Brain. Axial plane. Image width 240 mm.
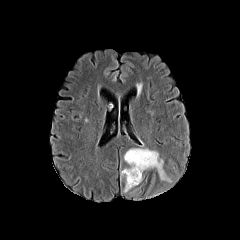
FLAIR MR.
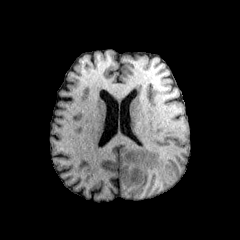
Same slice, T1-weighted MR image.
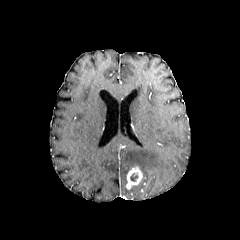
Post-contrast T1-weighted magnetic resonance.
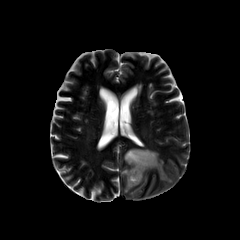
T2-weighted MRI of the same slice.
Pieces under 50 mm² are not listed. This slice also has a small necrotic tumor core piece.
peritumoral edema: 121,148,171,183
enhancing tumor: 126,166,142,189